Head. Image width 240 mm. Slice index 82.
FLAIR MR.
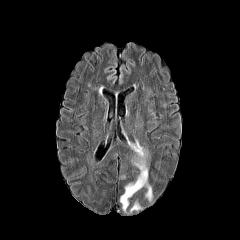
T1-weighted MR.
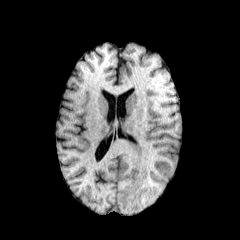
Post-contrast T1-weighted MR.
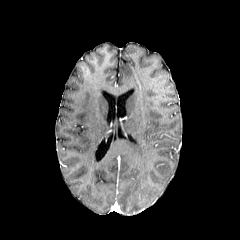
T2-weighted MR.
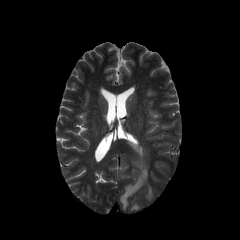
peritumoral edema: bounding box bbox=[120, 143, 152, 213]; bbox=[129, 199, 142, 211]